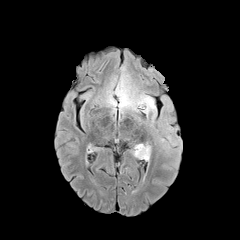
FLAIR magnetic resonance.
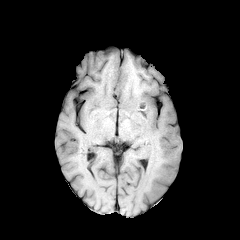
T1-weighted MRI.
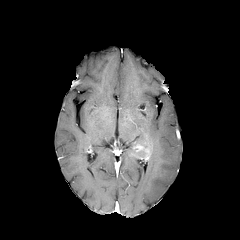
Post-contrast T1-weighted MRI.
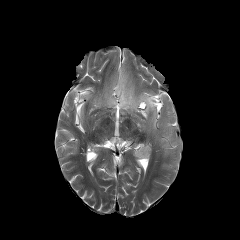
Same slice, T2-weighted MR image.
240x240
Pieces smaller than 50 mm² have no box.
Segmented structures:
• enhancing tumor: (left=134, top=144, right=150, bottom=159)
• peritumoral edema: (left=131, top=147, right=145, bottom=159), (left=119, top=86, right=156, bottom=129)